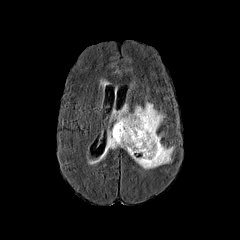
FLAIR MRI.
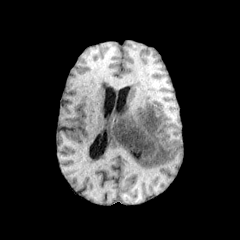
T1-weighted MR.
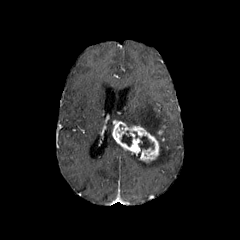
Same slice, post-contrast T1-weighted MR.
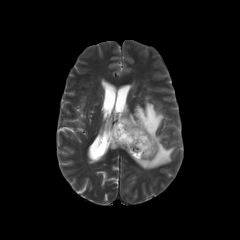
Same slice, T2-weighted MR image.
Axial plane | 240x240
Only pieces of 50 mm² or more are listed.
The enhancing tumor appears at x1=112, y1=121, x2=159, y2=162. The 2 largest necrotic tumor core regions appear at x1=139, y1=136, x2=153, y2=151; x1=121, y1=134, x2=131, y2=146. The 2 largest peritumoral edema regions are bounded by x1=105, y1=131, x2=120, y2=152; x1=113, y1=102, x2=173, y2=169.